FLAIR magnetic resonance.
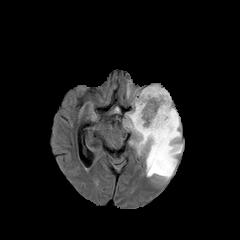
T1-weighted MR image.
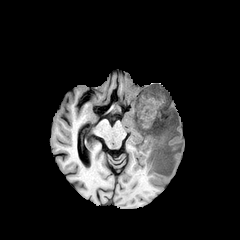
Post-contrast T1-weighted magnetic resonance.
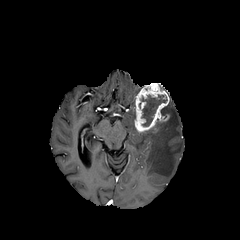
T2-weighted magnetic resonance.
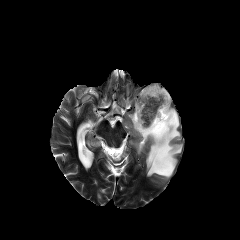
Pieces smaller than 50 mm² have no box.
Findings:
* enhancing tumor: x1=134, y1=83, x2=169, y2=132
* peritumoral edema: x1=126, y1=97, x2=182, y2=180
* necrotic tumor core: x1=141, y1=95, x2=166, y2=126